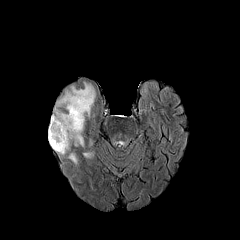
FLAIR magnetic resonance.
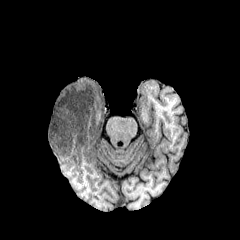
T1-weighted MR of the same slice.
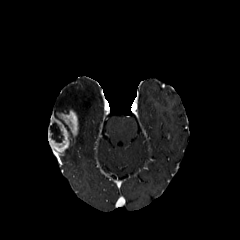
Post-contrast T1-weighted magnetic resonance.
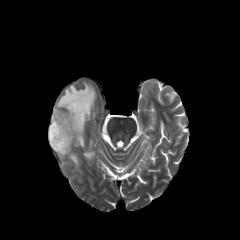
Same slice, T2-weighted MR.
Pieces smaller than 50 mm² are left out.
peritumoral edema: x1=56, y1=82, x2=95, y2=146; x1=68, y1=153, x2=77, y2=164
necrotic tumor core: x1=50, y1=123, x2=63, y2=142
enhancing tumor: x1=48, y1=111, x2=71, y2=157; x1=56, y1=108, x2=78, y2=137